240x240.
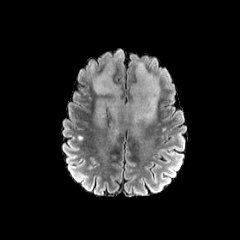
FLAIR MR.
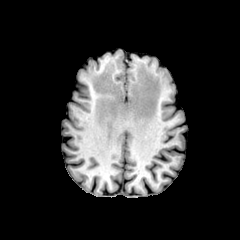
T1-weighted magnetic resonance of the same slice.
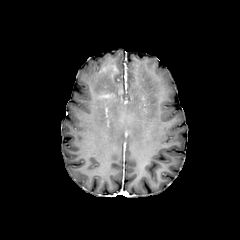
Same slice, post-contrast T1-weighted magnetic resonance.
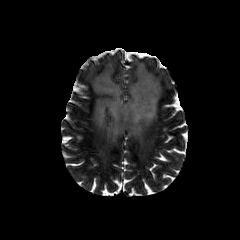
T2-weighted MR of the same slice.
<segmentation>
  <peritumoral_edema>box(93, 61, 160, 135)</peritumoral_edema>
</segmentation>